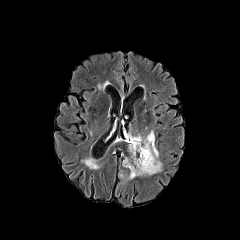
FLAIR magnetic resonance.
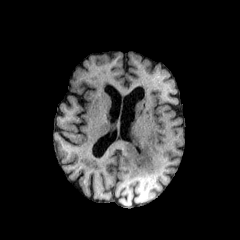
T1-weighted MR of the same slice.
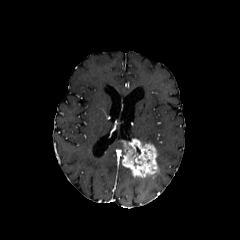
Post-contrast T1-weighted magnetic resonance of the same slice.
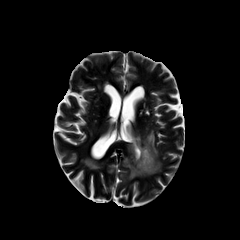
T2-weighted MR of the same slice.
Head
enhancing_tumor:
  - l=122, t=138, r=159, b=177
peritumoral_edema:
  - l=156, t=150, r=162, b=171
  - l=119, t=170, r=133, b=181
  - l=129, t=130, r=154, b=145